FLAIR MRI.
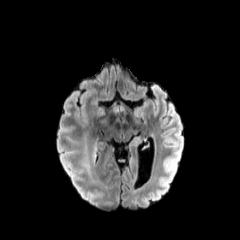
T1-weighted MR.
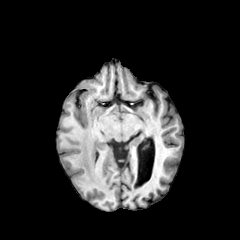
Post-contrast T1-weighted MR image.
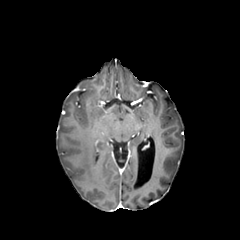
T2-weighted MR image.
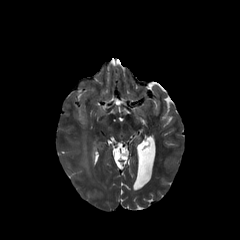
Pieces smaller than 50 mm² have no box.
peritumoral edema: bounding box 82:145:90:174